FLAIR magnetic resonance.
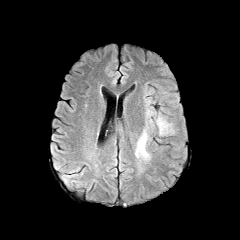
T1-weighted MR.
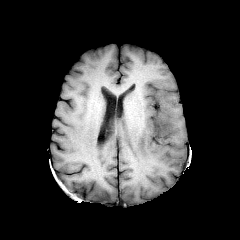
Post-contrast T1-weighted MRI.
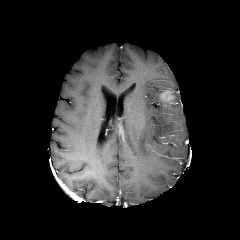
T2-weighted MRI.
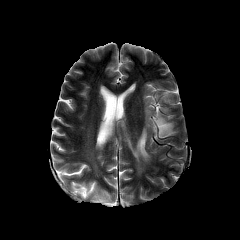
Axial plane. Brain. 240x240.
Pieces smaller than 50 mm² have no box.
peritumoral edema: bounding box bbox(135, 128, 150, 160); bbox(155, 115, 173, 135)
enhancing tumor: bounding box bbox(161, 91, 172, 101)